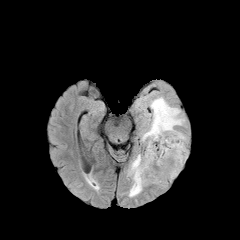
FLAIR MR image.
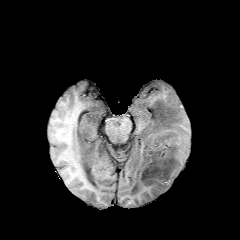
T1-weighted MR image.
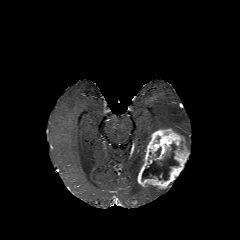
Same slice, post-contrast T1-weighted MRI.
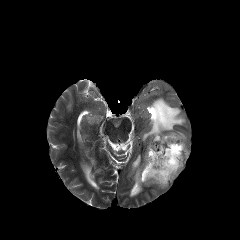
Same slice, T2-weighted MR image.
Brain, Axial view
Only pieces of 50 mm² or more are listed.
necrotic tumor core — (142, 143, 178, 180)
peritumoral edema — (141, 97, 186, 144), (128, 154, 143, 197)
enhancing tumor — (137, 128, 188, 188)